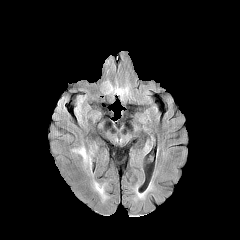
FLAIR MR.
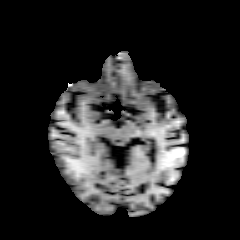
T1-weighted magnetic resonance.
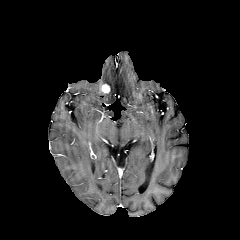
Post-contrast T1-weighted MR image.
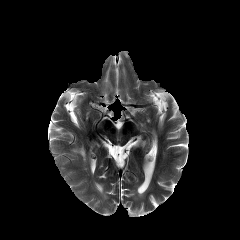
T2-weighted MR image.
240x240 px | Axial plane
peritumoral edema at box(72, 146, 91, 168)